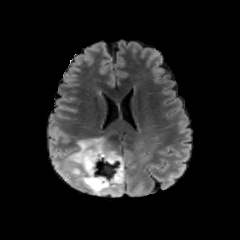
FLAIR MR.
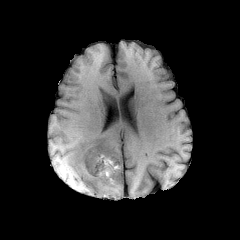
T1-weighted MR of the same slice.
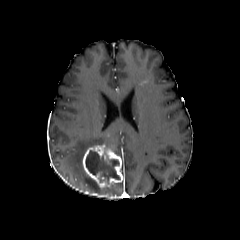
Same slice, post-contrast T1-weighted magnetic resonance.
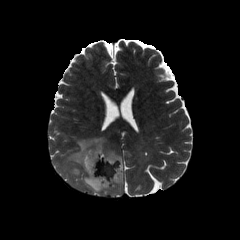
T2-weighted MRI.
Axial plane | Brain
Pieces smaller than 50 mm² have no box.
enhancing_tumor:
  - {"x1": 82, "y1": 145, "x2": 124, "y2": 189}
peritumoral_edema:
  - {"x1": 66, "y1": 137, "x2": 124, "y2": 194}
necrotic_tumor_core:
  - {"x1": 85, "y1": 151, "x2": 120, "y2": 179}